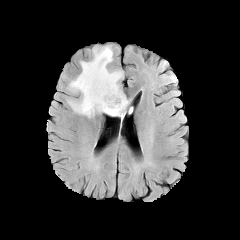
FLAIR MRI.
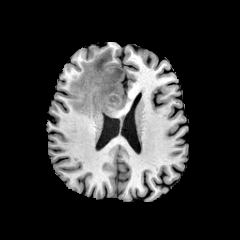
T1-weighted MR of the same slice.
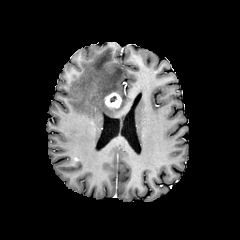
Same slice, post-contrast T1-weighted MRI.
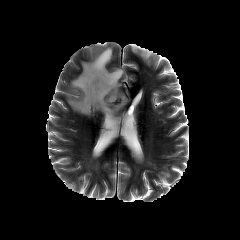
T2-weighted MRI.
Image size 240x240; Head
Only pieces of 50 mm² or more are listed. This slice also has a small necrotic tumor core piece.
The enhancing tumor is at [105, 92, 121, 107]. The peritumoral edema lies within [67, 46, 128, 117].